Axial plane, Brain
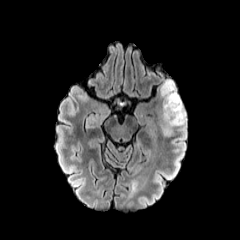
FLAIR MR image.
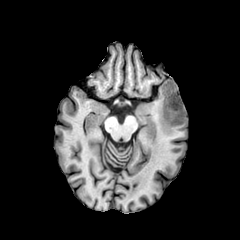
T1-weighted MR.
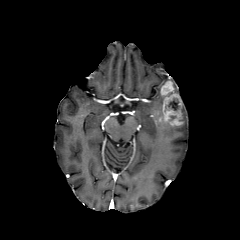
Post-contrast T1-weighted MR image.
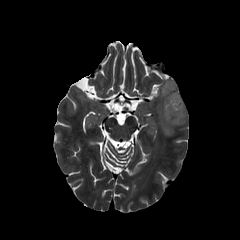
Same slice, T2-weighted MRI.
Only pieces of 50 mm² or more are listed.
enhancing tumor: (160, 80, 183, 126)
peritumoral edema: (157, 94, 173, 135), (174, 105, 186, 126)
necrotic tumor core: (168, 99, 178, 110)